FLAIR MR.
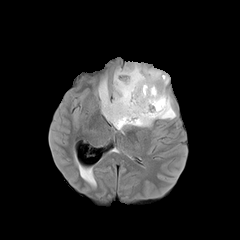
T1-weighted magnetic resonance.
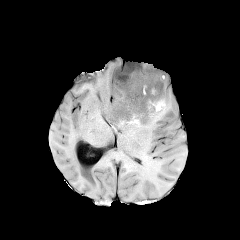
Post-contrast T1-weighted MRI.
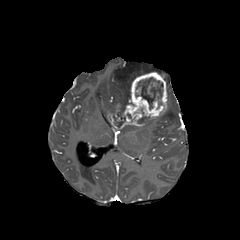
T2-weighted MR image.
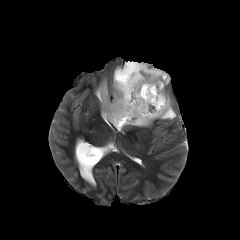
Axial slice
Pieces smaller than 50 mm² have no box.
3 enhancing tumor regions appear at left=114, top=103, right=120, bottom=121; left=107, top=72, right=167, bottom=129; left=147, top=82, right=157, bottom=96. The 2 largest peritumoral edema regions appear at left=138, top=91, right=176, bottom=126; left=96, top=63, right=169, bottom=127. The largest necrotic tumor core region appears at left=136, top=77, right=162, bottom=109.